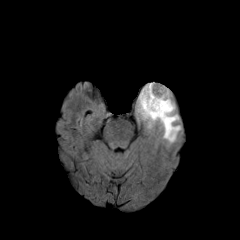
FLAIR MR.
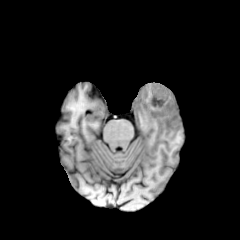
Same slice, T1-weighted MR.
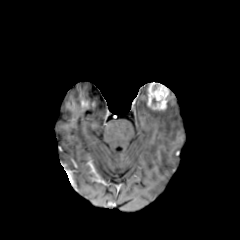
Post-contrast T1-weighted MR image of the same slice.
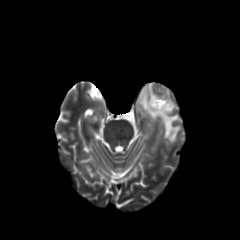
T2-weighted MR image.
Head
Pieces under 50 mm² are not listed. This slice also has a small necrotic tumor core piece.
enhancing tumor: [x1=147, y1=82, x2=169, y2=110] | peritumoral edema: [x1=136, y1=84, x2=180, y2=141]